Axial view | Image size 240x240
FLAIR MR image.
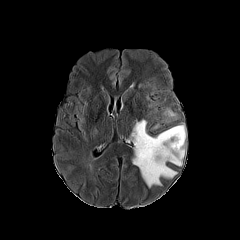
T1-weighted MR.
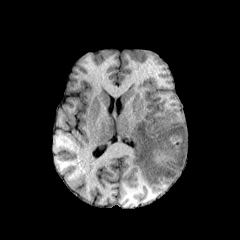
Post-contrast T1-weighted magnetic resonance.
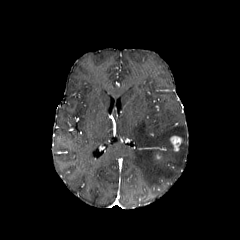
T2-weighted MRI.
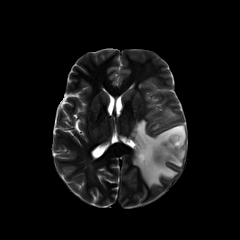
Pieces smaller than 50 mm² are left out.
The 2 largest peritumoral edema regions are bounded by <bbox>131, 120, 186, 187</bbox>, <bbox>164, 108, 176, 118</bbox>. The largest enhancing tumor region is bounded by <bbox>170, 135, 182, 151</bbox>.